Axial view, Head, Image width 240 mm
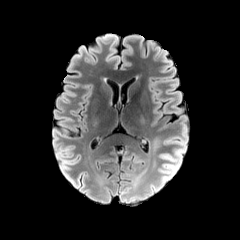
FLAIR magnetic resonance.
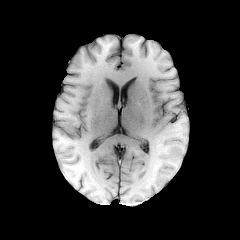
T1-weighted magnetic resonance.
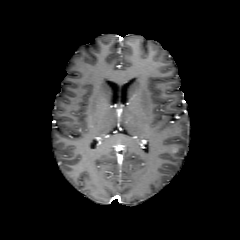
Post-contrast T1-weighted magnetic resonance of the same slice.
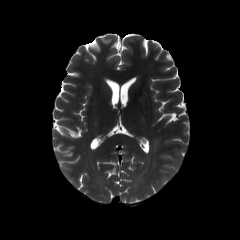
T2-weighted magnetic resonance.
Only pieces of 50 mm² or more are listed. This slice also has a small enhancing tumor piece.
The peritumoral edema appears at 158, 136, 187, 187.